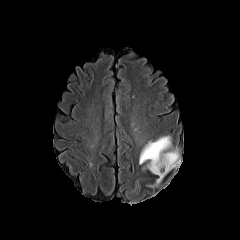
FLAIR magnetic resonance.
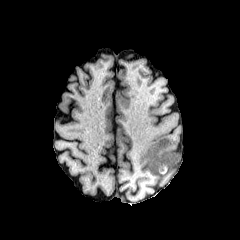
T1-weighted MR of the same slice.
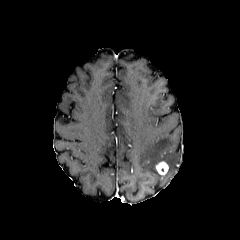
Same slice, post-contrast T1-weighted MR image.
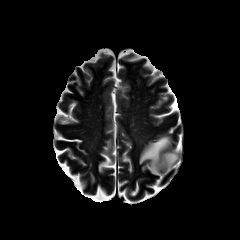
Same slice, T2-weighted MR image.
Head
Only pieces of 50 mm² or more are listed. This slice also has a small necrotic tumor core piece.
enhancing tumor = (155, 161, 168, 176)
peritumoral edema = (139, 135, 180, 184)